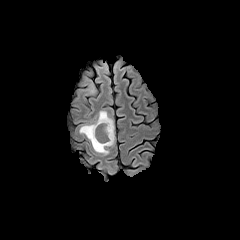
FLAIR MR.
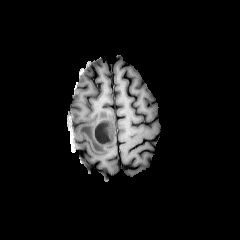
T1-weighted MR image.
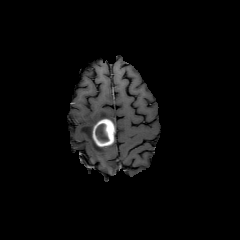
Post-contrast T1-weighted MR of the same slice.
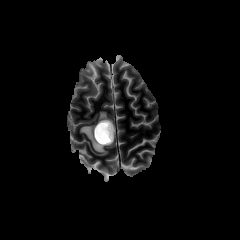
T2-weighted MR.
Axial view
peritumoral edema: bbox(79, 110, 115, 155); bbox(81, 70, 97, 94) | necrotic tumor core: bbox(96, 124, 108, 141) | enhancing tumor: bbox(92, 119, 114, 146)